Brain | Axial view
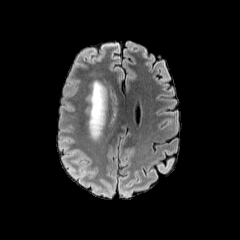
FLAIR magnetic resonance.
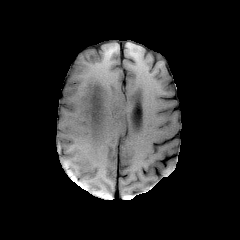
T1-weighted MRI.
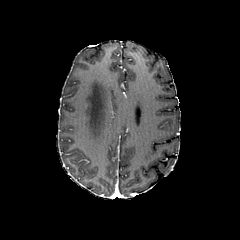
Post-contrast T1-weighted MR.
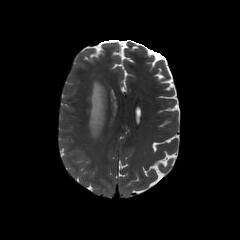
T2-weighted magnetic resonance.
peritumoral_edema:
  - 89:81:106:140